Axial view
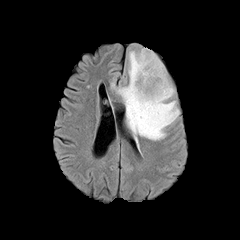
FLAIR MR image.
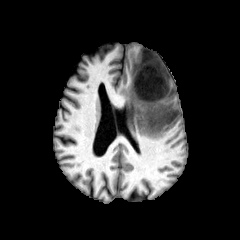
T1-weighted MRI.
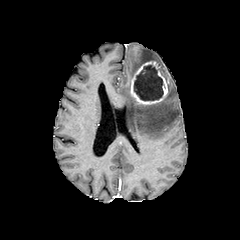
Post-contrast T1-weighted MR of the same slice.
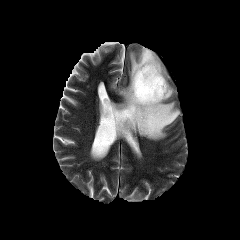
T2-weighted MRI.
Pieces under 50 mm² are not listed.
necrotic tumor core — l=134, t=65, r=163, b=100
enhancing tumor — l=130, t=61, r=168, b=105
peritumoral edema — l=117, t=48, r=179, b=140